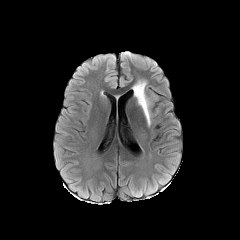
FLAIR MR.
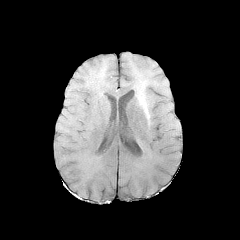
T1-weighted MR.
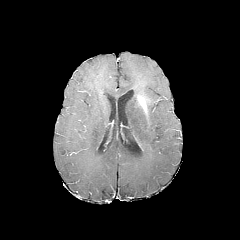
Post-contrast T1-weighted magnetic resonance.
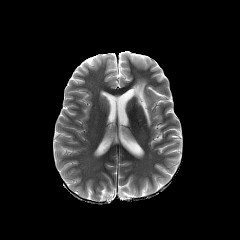
T2-weighted MR.
240x240 px, Axial slice
peritumoral edema: region(132, 81, 147, 98); region(144, 102, 151, 125)
enhancing tumor: region(137, 94, 150, 114)